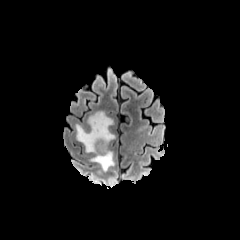
FLAIR MR.
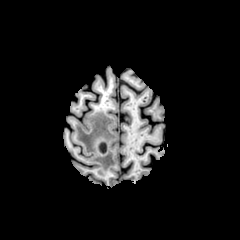
Same slice, T1-weighted MR image.
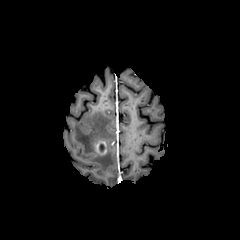
Post-contrast T1-weighted MRI of the same slice.
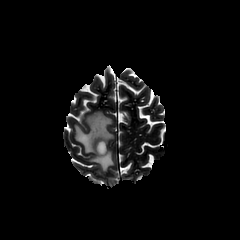
T2-weighted MRI of the same slice.
Image size 240x240 | Head
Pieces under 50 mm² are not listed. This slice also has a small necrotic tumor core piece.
The enhancing tumor lies within region(95, 141, 106, 154). The peritumoral edema is at region(75, 111, 114, 171).